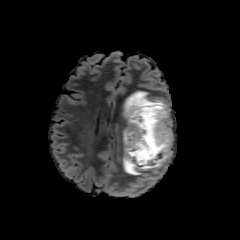
FLAIR MR.
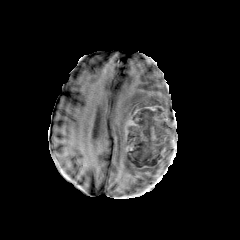
T1-weighted MR.
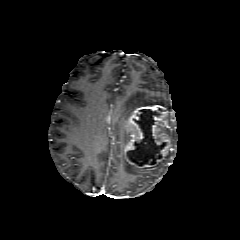
Post-contrast T1-weighted MR.
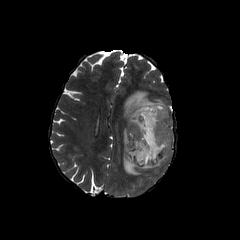
Same slice, T2-weighted MRI.
240x240 px
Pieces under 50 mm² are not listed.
enhancing tumor: rect(124, 104, 171, 168)
necrotic tumor core: rect(126, 109, 166, 165)
peritumoral edema: rect(123, 91, 168, 122); rect(123, 155, 162, 175)